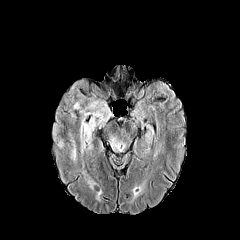
FLAIR magnetic resonance.
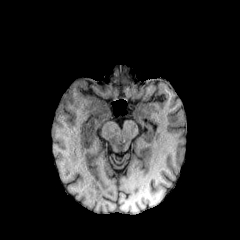
T1-weighted MR.
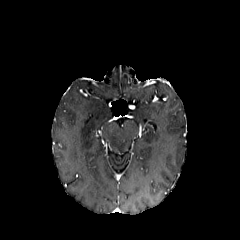
Post-contrast T1-weighted MRI.
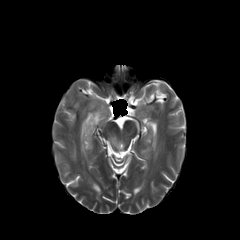
Same slice, T2-weighted MRI.
Head, Axial slice, 240x240 px
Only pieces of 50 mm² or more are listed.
peritumoral edema: (70,141,76,161), (91,101,108,123), (80,119,95,154), (110,136,124,151)